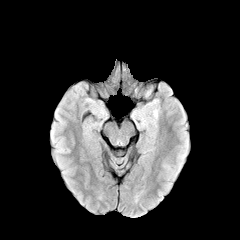
FLAIR magnetic resonance.
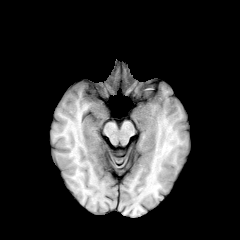
T1-weighted MR image.
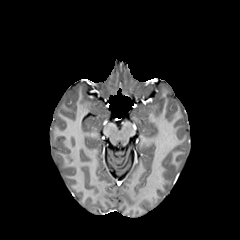
Post-contrast T1-weighted MRI.
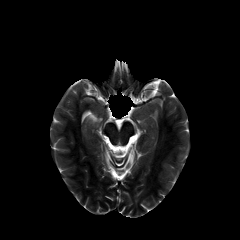
Same slice, T2-weighted magnetic resonance.
{"peritumoral_edema": ["box=[153, 109, 158, 120]"]}